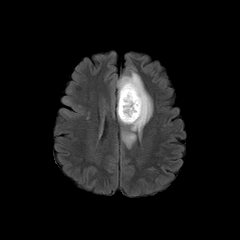
FLAIR MR.
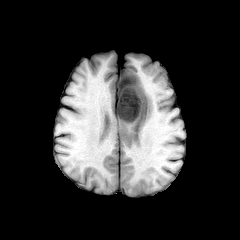
T1-weighted MRI of the same slice.
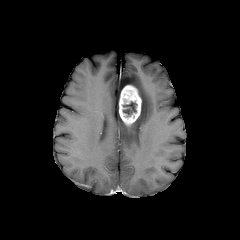
Post-contrast T1-weighted MR.
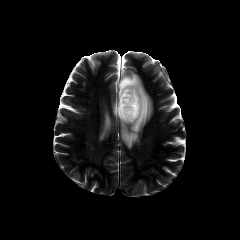
Same slice, T2-weighted MR.
Brain. 240x240 px.
The peritumoral edema appears at bbox=[116, 70, 153, 148]. The enhancing tumor lies within bbox=[119, 84, 141, 125]. The necrotic tumor core lies within bbox=[123, 102, 136, 114].